Brain.
FLAIR MR image.
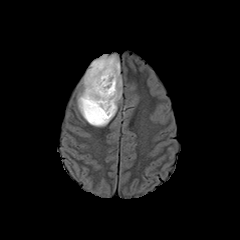
T1-weighted magnetic resonance.
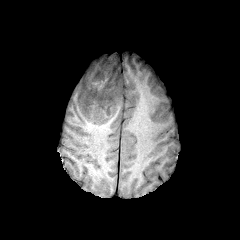
Post-contrast T1-weighted MR.
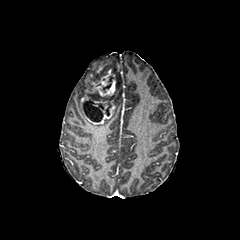
T2-weighted MRI.
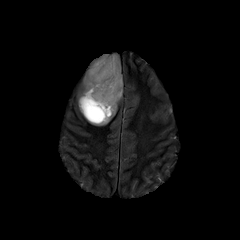
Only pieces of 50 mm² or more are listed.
necrotic tumor core at l=82, t=101, r=103, b=122
enhancing tumor at l=85, t=69, r=115, b=96; l=80, t=94, r=88, b=107; l=86, t=100, r=115, b=124
peritumoral edema at l=77, t=54, r=122, b=126